Axial plane. Brain. Image width 240 mm, 1.00 mm slice spacing.
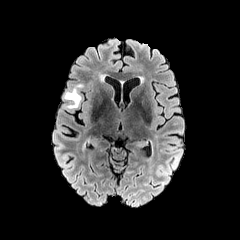
FLAIR MR image.
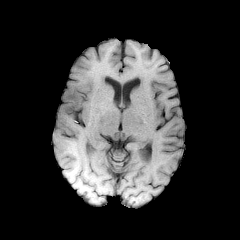
Same slice, T1-weighted magnetic resonance.
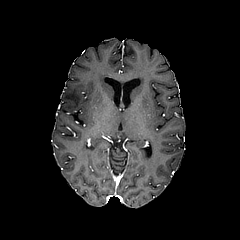
Post-contrast T1-weighted magnetic resonance.
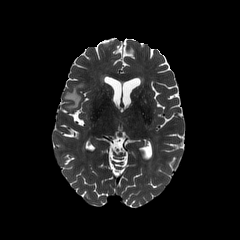
T2-weighted magnetic resonance.
Segmented structures:
* peritumoral edema: 64,84,84,109